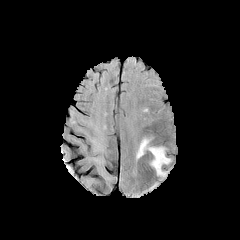
FLAIR MR.
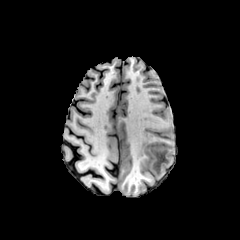
Same slice, T1-weighted MR image.
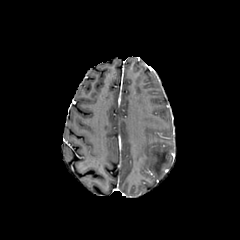
Post-contrast T1-weighted MR image.
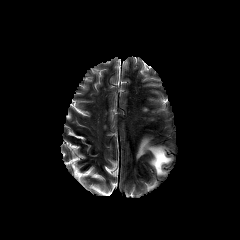
T2-weighted magnetic resonance.
Head.
The peritumoral edema is bounded by (136,138,170,175).